Brain. Axial view.
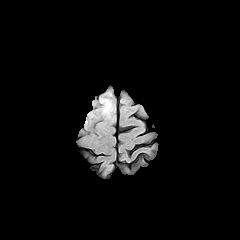
FLAIR MR image.
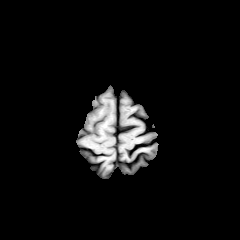
T1-weighted MR image.
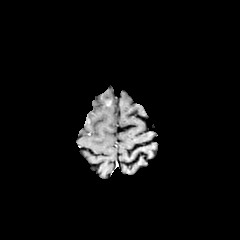
Same slice, post-contrast T1-weighted MR image.
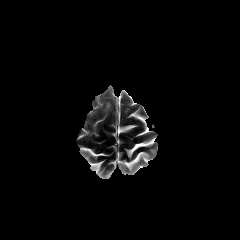
T2-weighted MR.
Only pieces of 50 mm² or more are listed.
peritumoral edema: bbox=[103, 100, 111, 115]